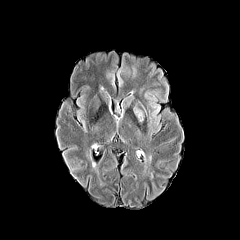
FLAIR MR image.
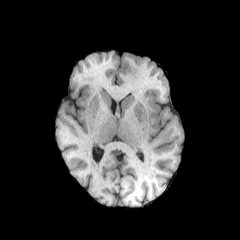
T1-weighted MRI of the same slice.
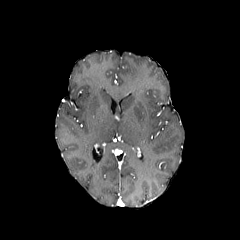
Same slice, post-contrast T1-weighted MR.
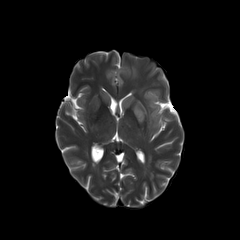
T2-weighted MR.
Image size 240x240
peritumoral_edema:
  - x1=123, y1=95, x2=133, y2=109
  - x1=133, y1=104, x2=144, y2=123